Image covers 240 mm x 240 mm. Slice index 141.
FLAIR MRI.
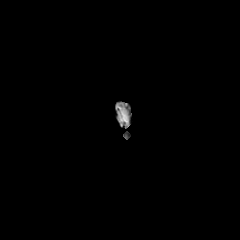
T1-weighted MR image.
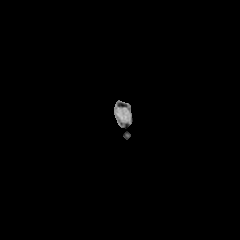
Post-contrast T1-weighted MR.
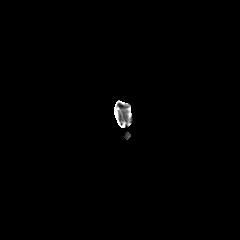
T2-weighted magnetic resonance.
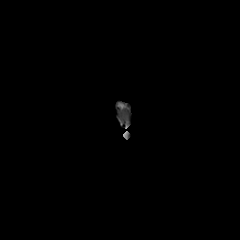
peritumoral edema = (121,109,127,121)